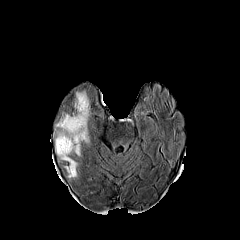
FLAIR MRI.
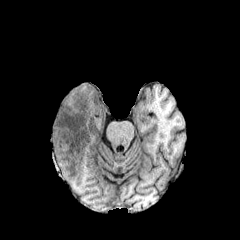
T1-weighted MRI.
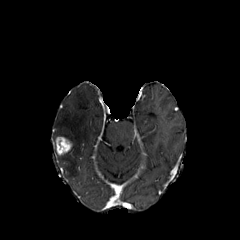
Same slice, post-contrast T1-weighted MRI.
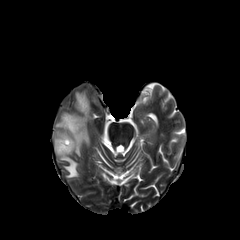
T2-weighted magnetic resonance.
Brain.
• enhancing tumor: x1=55 y1=137 x2=72 y2=154
• peritumoral edema: x1=56 y1=91 x2=89 y2=177